Brain
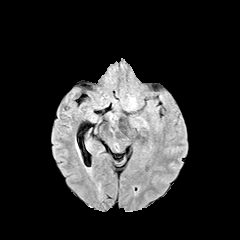
FLAIR magnetic resonance.
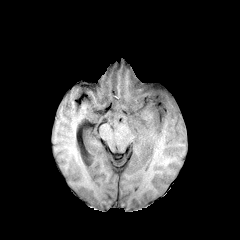
T1-weighted MR image.
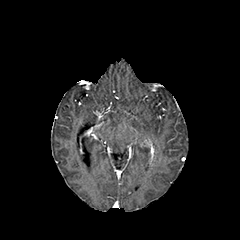
Post-contrast T1-weighted MR image.
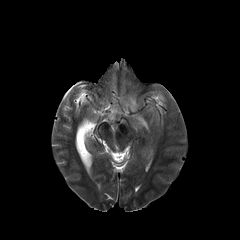
T2-weighted MRI of the same slice.
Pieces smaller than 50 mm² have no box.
Annotated regions:
* peritumoral edema: bbox(129, 97, 136, 108)